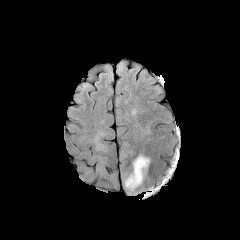
FLAIR magnetic resonance.
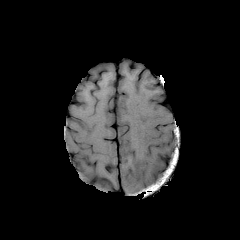
T1-weighted MR image.
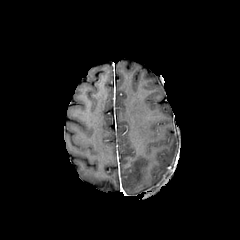
Post-contrast T1-weighted MRI.
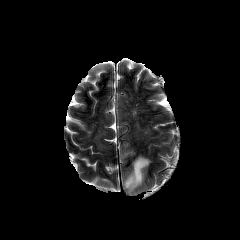
Same slice, T2-weighted MRI.
Axial slice | 240x240 | Brain
The peritumoral edema is at 123:154:149:193.